Axial plane. 240x240.
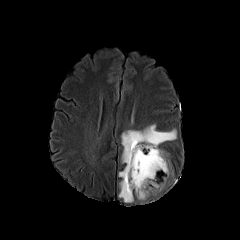
FLAIR MRI.
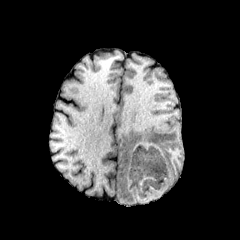
T1-weighted MRI.
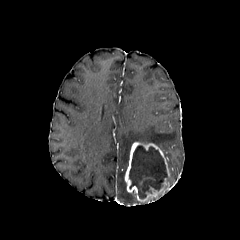
Post-contrast T1-weighted magnetic resonance of the same slice.
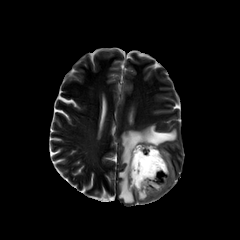
Same slice, T2-weighted MR.
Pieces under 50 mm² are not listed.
peritumoral edema: l=119, t=124, r=176, b=202 | necrotic tumor core: l=129, t=145, r=166, b=198 | enhancing tumor: l=124, t=142, r=171, b=202